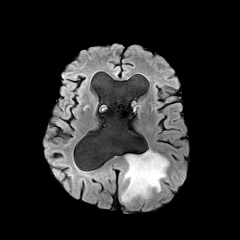
FLAIR magnetic resonance.
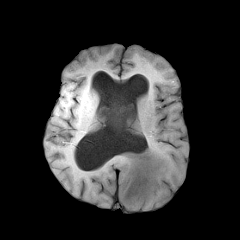
Same slice, T1-weighted MR image.
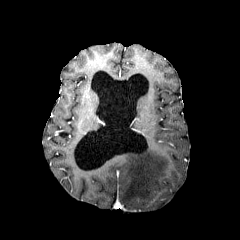
Same slice, post-contrast T1-weighted MRI.
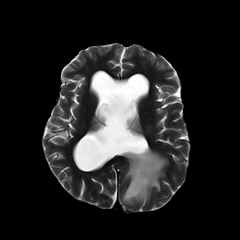
T2-weighted MRI.
240x240 px
peritumoral edema: left=120, top=149, right=169, bottom=204